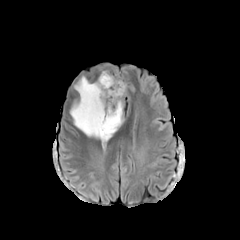
FLAIR MR.
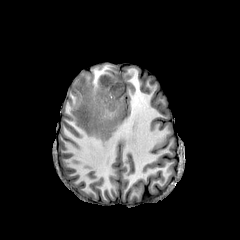
T1-weighted magnetic resonance.
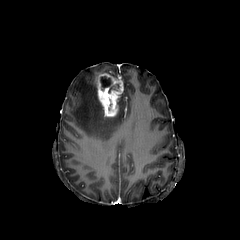
Post-contrast T1-weighted magnetic resonance of the same slice.
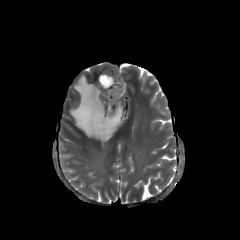
T2-weighted MRI.
Head
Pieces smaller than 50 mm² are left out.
{
  "necrotic_tumor_core": [
    "(100,76,111,88)"
  ],
  "enhancing_tumor": [
    "(97,73,123,116)"
  ],
  "peritumoral_edema": [
    "(70,76,123,144)"
  ]
}